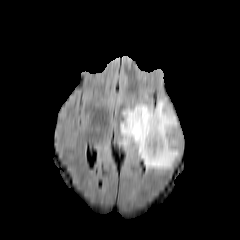
FLAIR MRI.
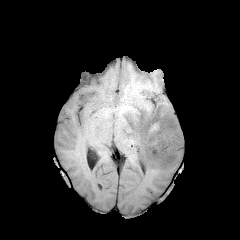
Same slice, T1-weighted MRI.
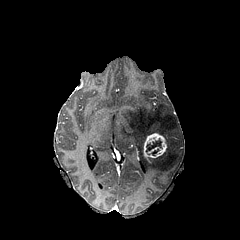
Post-contrast T1-weighted magnetic resonance of the same slice.
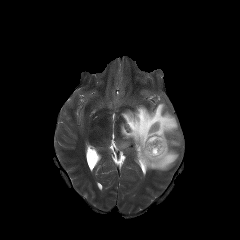
T2-weighted magnetic resonance of the same slice.
Brain | Axial plane
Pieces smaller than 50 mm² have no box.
Segmented structures:
* necrotic tumor core: 146:139:161:151
* peritumoral edema: 119:99:180:170
* enhancing tumor: 143:133:167:162